Brain, Axial view
FLAIR MR image.
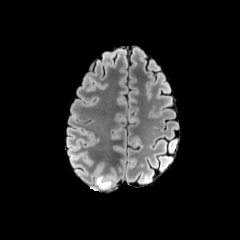
T1-weighted MR.
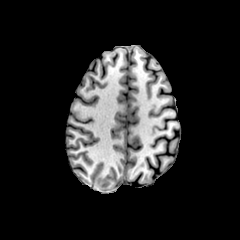
Post-contrast T1-weighted MRI.
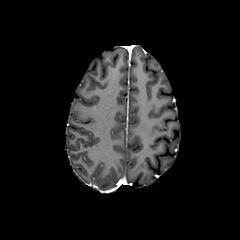
T2-weighted MR.
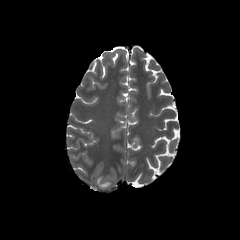
peritumoral edema: bounding box 95 175 112 189